FLAIR magnetic resonance.
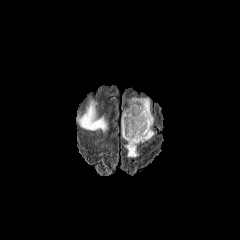
T1-weighted MRI.
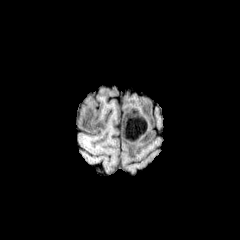
Post-contrast T1-weighted MR.
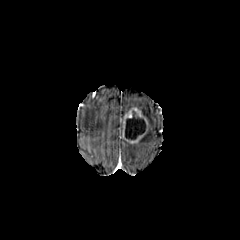
T2-weighted MR.
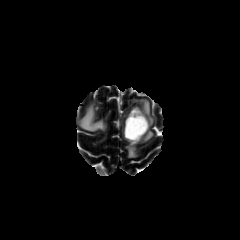
Brain; Axial view
The necrotic tumor core lies within region(125, 111, 145, 139). 3 peritumoral edema regions are located at region(125, 143, 138, 157); region(78, 102, 107, 131); region(123, 98, 153, 142). The enhancing tumor is bounded by region(122, 107, 148, 144).